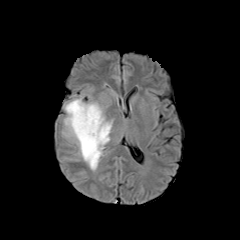
FLAIR MR.
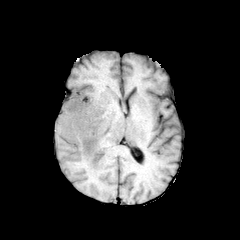
T1-weighted MR image of the same slice.
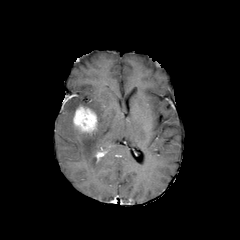
Post-contrast T1-weighted MR of the same slice.
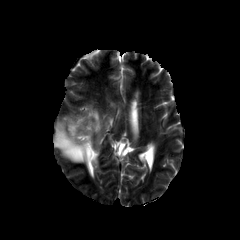
T2-weighted MRI.
Head
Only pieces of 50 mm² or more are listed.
<segmentation>
  <peritumoral_edema>bbox(59, 97, 113, 171)</peritumoral_edema>
  <enhancing_tumor>bbox(73, 106, 97, 135)</enhancing_tumor>
</segmentation>